Slice 88/155, Axial plane
FLAIR magnetic resonance.
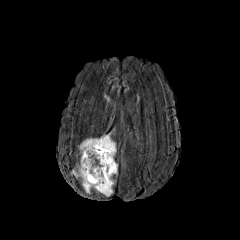
T1-weighted MRI.
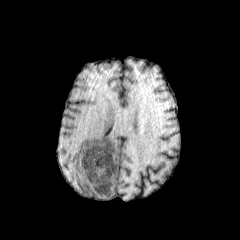
Post-contrast T1-weighted magnetic resonance.
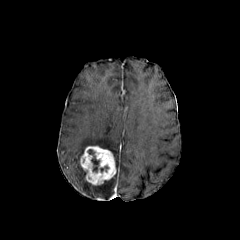
T2-weighted MR image.
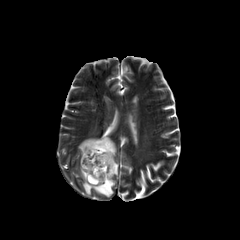
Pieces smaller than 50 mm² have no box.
necrotic_tumor_core:
  - {"x1": 88, "y1": 149, "x2": 99, "y2": 171}
peritumoral_edema:
  - {"x1": 72, "y1": 165, "x2": 114, "y2": 196}
  - {"x1": 78, "y1": 134, "x2": 116, "y2": 156}
enhancing_tumor:
  - {"x1": 80, "y1": 145, "x2": 116, "y2": 185}